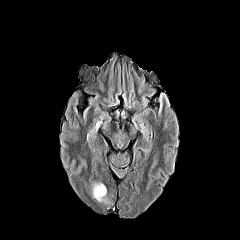
FLAIR MR image.
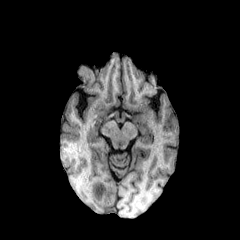
T1-weighted magnetic resonance.
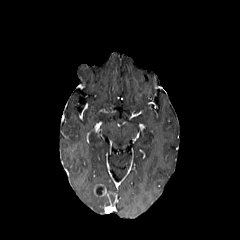
Post-contrast T1-weighted MRI.
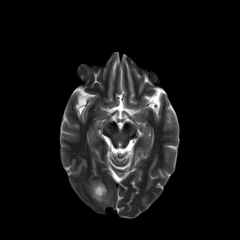
T2-weighted MR image.
peritumoral edema: 92, 183, 109, 203 | enhancing tumor: 93, 184, 108, 197 | necrotic tumor core: 96, 186, 103, 195